Head. Image width 240 mm, 1.00 mm slice spacing. Slice index 42.
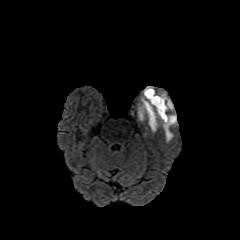
FLAIR MR.
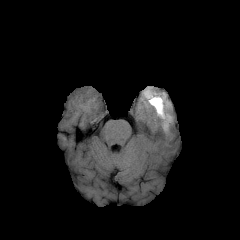
T1-weighted MRI of the same slice.
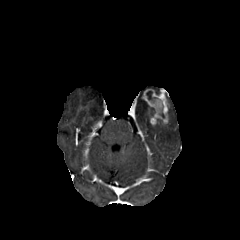
Same slice, post-contrast T1-weighted MR image.
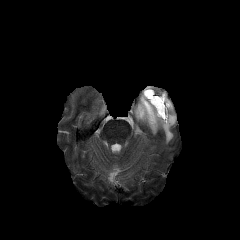
T2-weighted MR.
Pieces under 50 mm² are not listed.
The peritumoral edema is located at 137:93:176:142. The largest necrotic tumor core region appears at 146:91:156:103. The enhancing tumor appears at 142:89:168:125.